FLAIR MR.
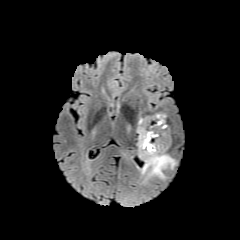
T1-weighted MR.
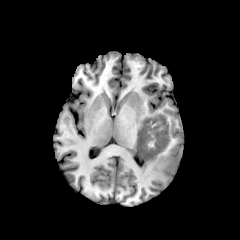
Post-contrast T1-weighted magnetic resonance.
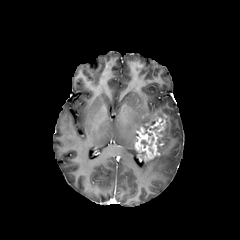
T2-weighted magnetic resonance.
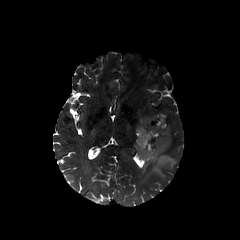
Axial view
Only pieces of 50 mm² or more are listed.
The 2 largest necrotic tumor core regions are bounded by <bbox>157, 126, 165, 149</bbox>, <bbox>145, 119, 158, 132</bbox>. 2 peritumoral edema regions are bounded by <bbox>137, 113, 162, 129</bbox>, <bbox>141, 128, 176, 179</bbox>. The enhancing tumor is bounded by <bbox>135, 114, 166, 161</bbox>.